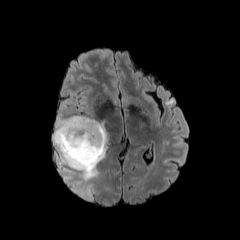
FLAIR magnetic resonance.
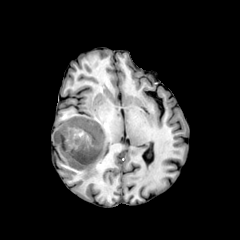
T1-weighted magnetic resonance.
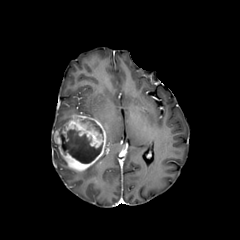
Same slice, post-contrast T1-weighted MRI.
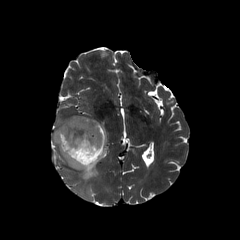
T2-weighted MR.
Brain.
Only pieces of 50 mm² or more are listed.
peritumoral_edema:
  - 82 157 102 180
  - 54 116 71 131
necrotic_tumor_core:
  - 60 129 102 163
  - 82 119 102 135
enhancing_tumor:
  - 53 115 107 171